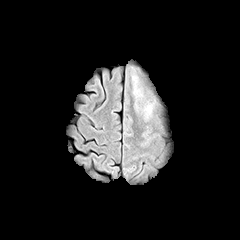
FLAIR MRI.
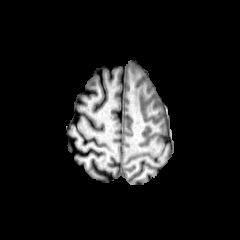
T1-weighted magnetic resonance.
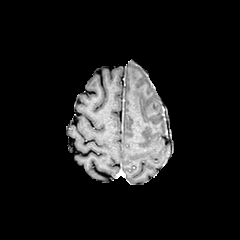
Post-contrast T1-weighted MR image.
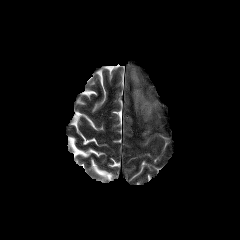
T2-weighted MRI.
Axial slice; 240x240
The peritumoral edema is bounded by [x1=132, y1=75, x2=153, y2=123].